FLAIR MRI.
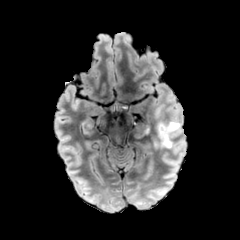
T1-weighted MRI.
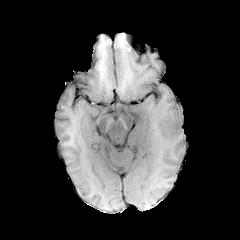
Post-contrast T1-weighted MR.
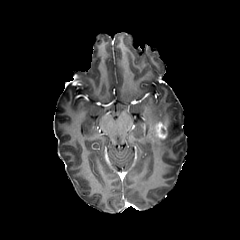
T2-weighted magnetic resonance.
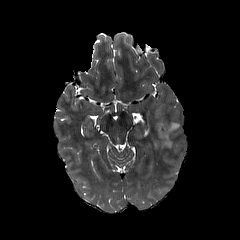
240x240 px; Brain
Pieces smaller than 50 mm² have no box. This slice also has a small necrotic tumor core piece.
peritumoral edema = box(155, 112, 181, 148)
enhancing tumor = box(155, 120, 168, 139)